FLAIR MR image.
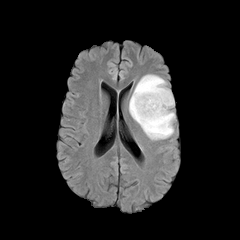
T1-weighted MR.
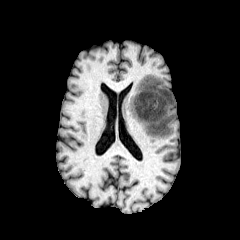
Post-contrast T1-weighted magnetic resonance.
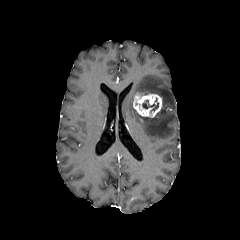
T2-weighted MRI.
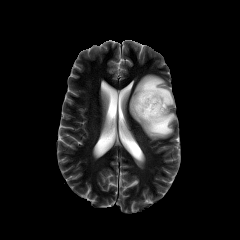
Head
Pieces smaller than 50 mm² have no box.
The peritumoral edema is located at 129:74:175:139. The enhancing tumor lies within 133:92:163:117. The largest necrotic tumor core region appears at 142:100:158:111.